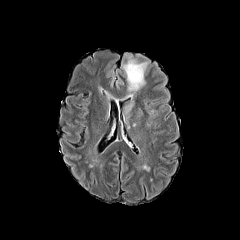
FLAIR MR image.
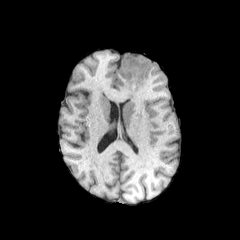
T1-weighted magnetic resonance of the same slice.
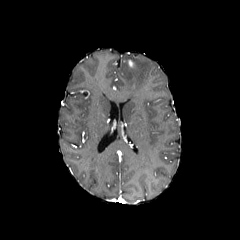
Post-contrast T1-weighted MRI.
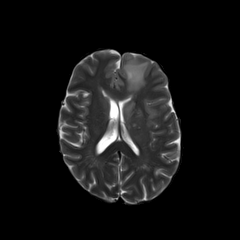
Same slice, T2-weighted MR.
240x240. Head.
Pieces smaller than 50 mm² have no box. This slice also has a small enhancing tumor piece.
The 3 largest peritumoral edema regions are bounded by [x1=122, y1=56, x2=148, y2=91], [x1=122, y1=100, x2=133, y2=116], [x1=136, y1=108, x2=143, y2=116].